Axial slice, Slice index 131, Head
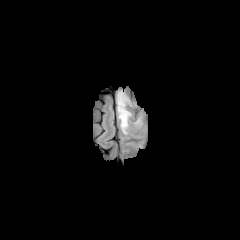
FLAIR MRI.
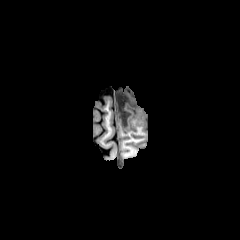
T1-weighted MRI.
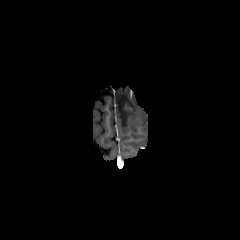
Same slice, post-contrast T1-weighted MR.
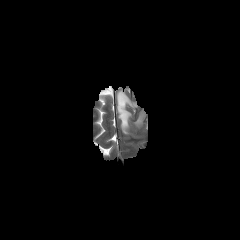
T2-weighted MR image.
peritumoral edema: x1=134, y1=109, x2=146, y2=130; x1=117, y1=91, x2=137, y2=134